Head, Image width 240 mm, 1.00 mm slice spacing, Slice 74/155
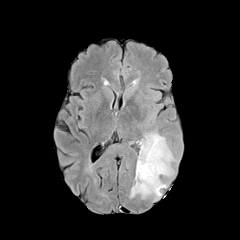
FLAIR MRI.
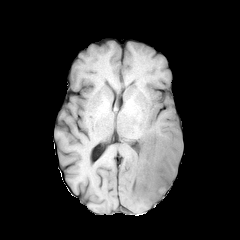
Same slice, T1-weighted magnetic resonance.
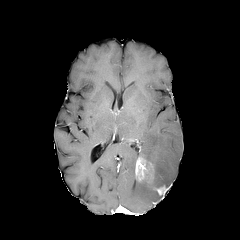
Post-contrast T1-weighted MR image.
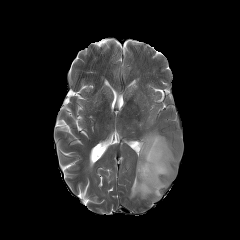
Same slice, T2-weighted magnetic resonance.
Findings:
- enhancing tumor: <box>154,186,167,194</box>, <box>135,157,154,183</box>
- peritumoral edema: <box>130,130,176,200</box>